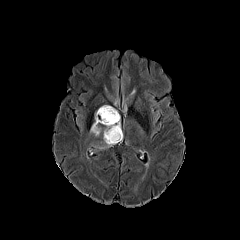
FLAIR MR.
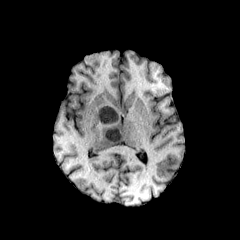
T1-weighted MR image.
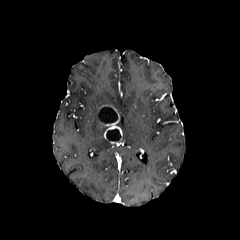
Post-contrast T1-weighted MRI.
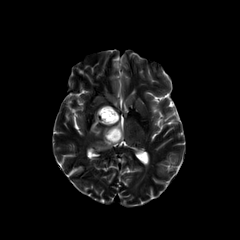
T2-weighted MRI of the same slice.
Axial view. Head. 240x240 px.
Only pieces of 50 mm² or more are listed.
enhancing tumor: x1=97, y1=107, x2=122, y2=144
necrotic tumor core: x1=106, y1=129, x2=121, y2=141; x1=98, y1=106, x2=117, y2=123
peritumoral edema: x1=90, y1=112, x2=101, y2=136; x1=95, y1=137, x2=111, y2=149